Brain, Slice 80/155, 240x240, Axial slice
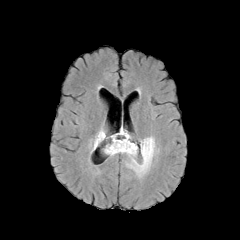
FLAIR MR.
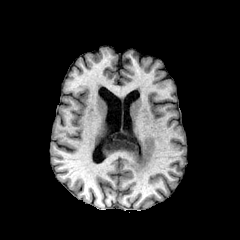
T1-weighted MRI.
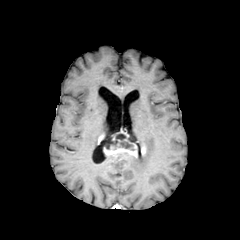
Post-contrast T1-weighted magnetic resonance.
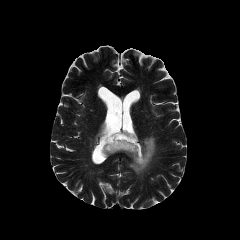
Same slice, T2-weighted MRI.
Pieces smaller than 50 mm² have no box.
necrotic tumor core: bounding box (left=99, top=133, right=134, bottom=150)
enhancing tumor: bounding box (left=103, top=142, right=139, bottom=157)
peritumoral edema: bounding box (left=91, top=128, right=105, bottom=152), (left=126, top=136, right=155, bottom=176)